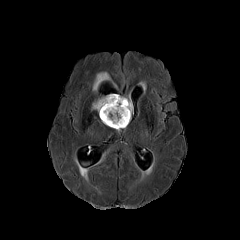
FLAIR MR.
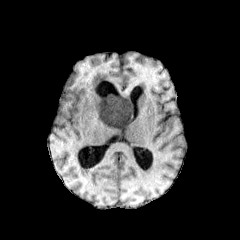
T1-weighted MR.
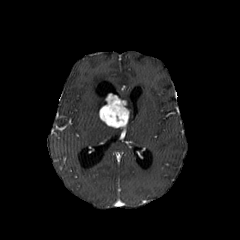
Post-contrast T1-weighted MRI of the same slice.
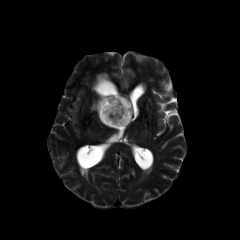
Same slice, T2-weighted MRI.
Axial view
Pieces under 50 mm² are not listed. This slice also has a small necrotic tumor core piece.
• peritumoral edema: [x1=92, y1=72, x2=110, y2=91], [x1=117, y1=95, x2=132, y2=121], [x1=92, y1=96, x2=106, y2=112]
• enhancing tumor: [x1=99, y1=93, x2=129, y2=128]